Slice index 30 | 240x240 | Axial plane | Image width 240 mm
FLAIR MR image.
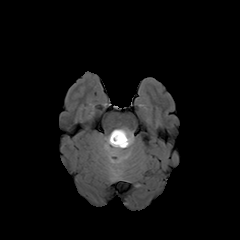
T1-weighted MRI.
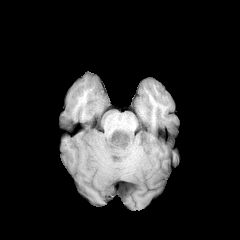
Post-contrast T1-weighted magnetic resonance.
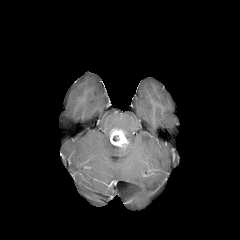
T2-weighted magnetic resonance.
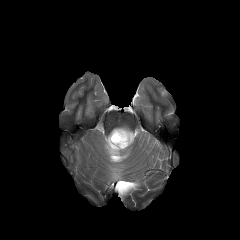
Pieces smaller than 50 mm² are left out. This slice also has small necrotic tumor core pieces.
peritumoral_edema:
  - x1=101, y1=127, x2=134, y2=179
enhancing_tumor:
  - x1=110, y1=129, x2=129, y2=148